Head
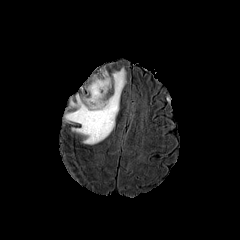
FLAIR magnetic resonance.
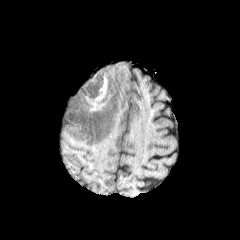
Same slice, T1-weighted MR.
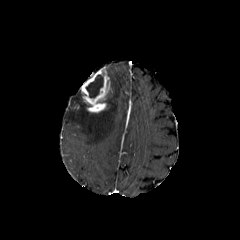
Post-contrast T1-weighted MR image.
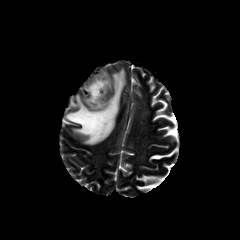
T2-weighted MRI.
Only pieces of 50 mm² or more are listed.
The enhancing tumor is located at l=80, t=67, r=110, b=112. The peritumoral edema is located at l=64, t=68, r=126, b=144. The largest necrotic tumor core region is located at l=86, t=74, r=103, b=97.